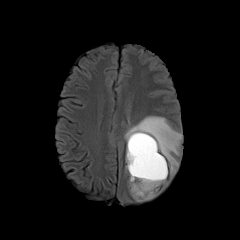
FLAIR MRI.
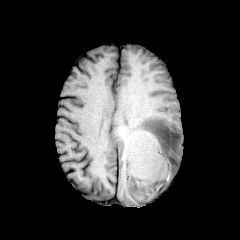
T1-weighted MRI.
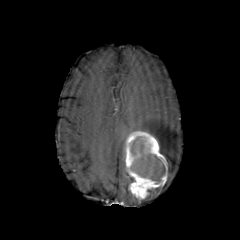
Post-contrast T1-weighted MRI.
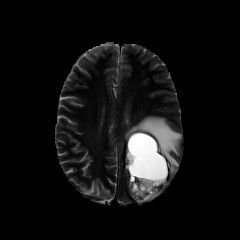
T2-weighted magnetic resonance of the same slice.
Axial slice
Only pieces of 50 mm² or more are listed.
The necrotic tumor core lies within l=130, t=137, r=165, b=181. The 2 largest peritumoral edema regions appear at l=132, t=188, r=159, b=201; l=124, t=116, r=182, b=175. The enhancing tumor is located at l=125, t=131, r=167, b=199.